Image covers 240 mm x 240 mm, Slice 112/155, Brain, Axial plane
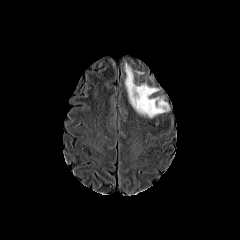
FLAIR magnetic resonance.
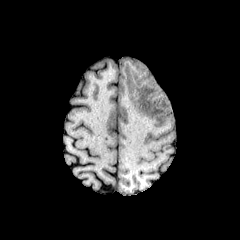
Same slice, T1-weighted MRI.
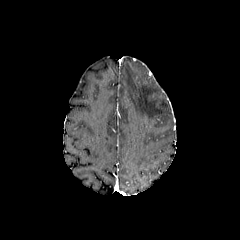
Same slice, post-contrast T1-weighted MR.
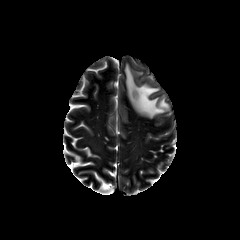
T2-weighted MR of the same slice.
* peritumoral edema: [125, 64, 168, 118]